Axial slice, Head
FLAIR magnetic resonance.
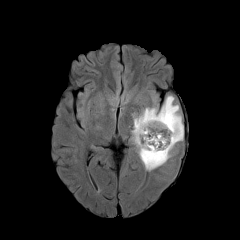
T1-weighted magnetic resonance.
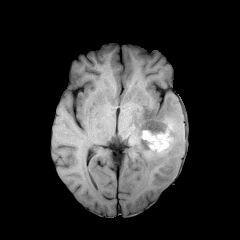
Post-contrast T1-weighted MRI.
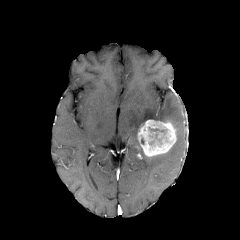
T2-weighted MRI.
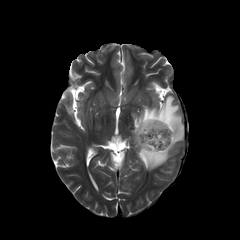
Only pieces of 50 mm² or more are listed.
Findings:
* necrotic tumor core: box(148, 127, 169, 147)
* peritumoral edema: box(131, 95, 183, 171)
* enhancing tumor: box(138, 119, 176, 156)